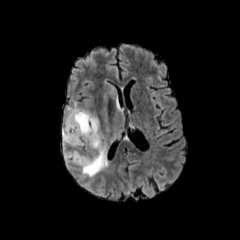
FLAIR MR image.
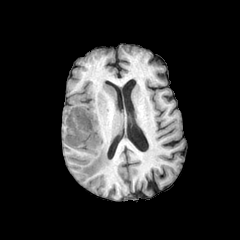
T1-weighted MR of the same slice.
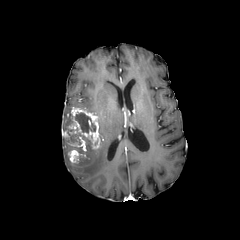
Post-contrast T1-weighted MR.
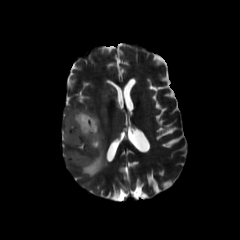
Same slice, T2-weighted MR image.
Head
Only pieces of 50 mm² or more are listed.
The 2 largest necrotic tumor core regions are located at <bbox>75, 112, 96, 133</bbox>, <bbox>71, 133, 90, 145</bbox>. The 2 largest peritumoral edema regions are located at <bbox>76, 78, 125, 176</bbox>, <bbox>64, 100, 79, 122</bbox>. The largest enhancing tumor region is at <bbox>62, 107, 102, 164</bbox>.